FLAIR MRI.
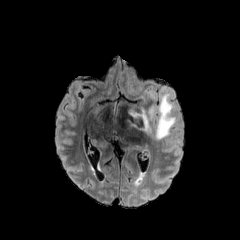
T1-weighted MRI.
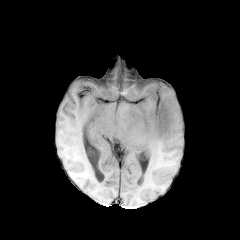
Post-contrast T1-weighted MR.
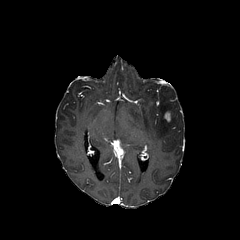
T2-weighted MR image.
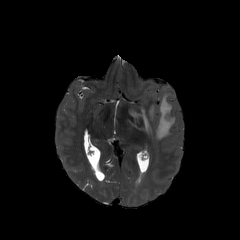
Image size 240x240, Axial view
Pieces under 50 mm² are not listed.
enhancing tumor: 163, 111, 171, 122 | peritumoral edema: 148, 105, 154, 119; 127, 107, 151, 134; 155, 92, 177, 139